Head | Slice 70/155 | Image width 240 mm
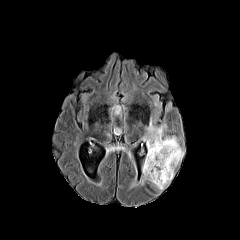
FLAIR MR.
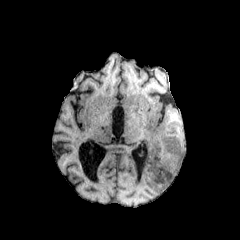
Same slice, T1-weighted MR image.
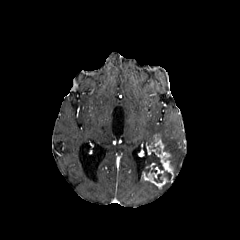
Post-contrast T1-weighted MR image.
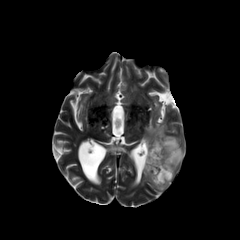
T2-weighted MR of the same slice.
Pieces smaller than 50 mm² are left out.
The largest peritumoral edema region appears at [142, 119, 184, 174]. The largest enhancing tumor region is bounded by [142, 134, 173, 188]. The 2 largest necrotic tumor core regions are located at [144, 151, 163, 175], [164, 171, 171, 180].